240x240; Slice 113 of 155
FLAIR magnetic resonance.
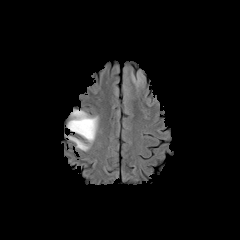
T1-weighted MRI.
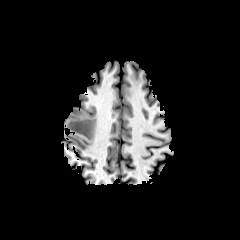
Post-contrast T1-weighted magnetic resonance.
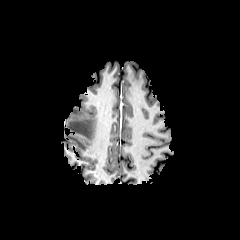
T2-weighted MR.
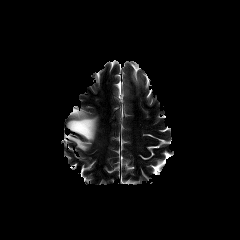
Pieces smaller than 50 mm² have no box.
peritumoral edema — x1=131 y1=72 x2=143 y2=87, x1=66 y1=109 x2=98 y2=150